FLAIR MRI.
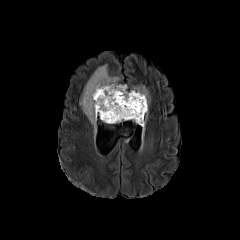
T1-weighted MR image.
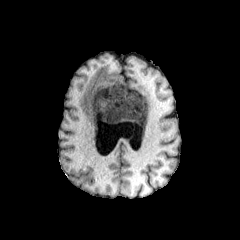
Post-contrast T1-weighted magnetic resonance.
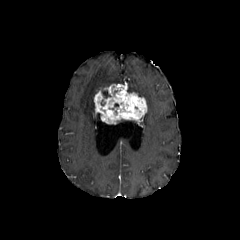
T2-weighted MR.
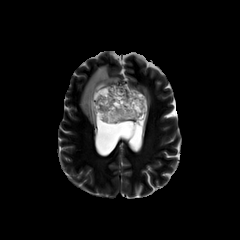
Brain; Axial slice
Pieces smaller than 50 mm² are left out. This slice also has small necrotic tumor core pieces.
The 2 largest peritumoral edema regions are bounded by box(128, 86, 149, 107); box(80, 65, 119, 126). The enhancing tumor is bounded by box(94, 84, 147, 124).